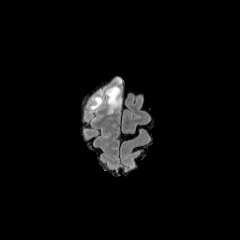
FLAIR MR.
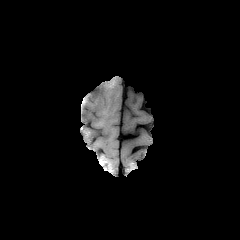
T1-weighted MR.
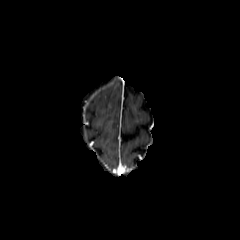
Post-contrast T1-weighted magnetic resonance.
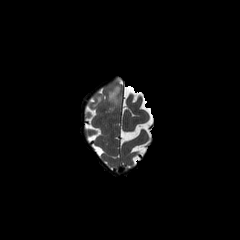
T2-weighted magnetic resonance of the same slice.
2 peritumoral edema regions are located at x1=106 y1=77 x2=122 y2=112, x1=91 y1=96 x2=102 y2=109.